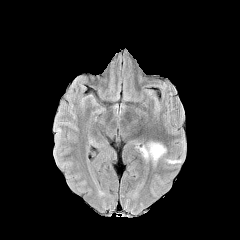
FLAIR MR image.
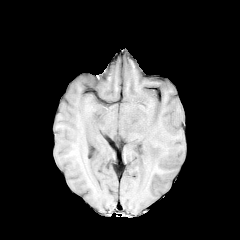
T1-weighted magnetic resonance of the same slice.
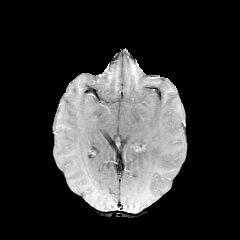
Post-contrast T1-weighted MR.
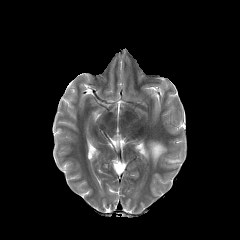
T2-weighted MR of the same slice.
Head | Axial slice
peritumoral_edema:
  - (166, 159, 181, 163)
  - (140, 142, 166, 164)